240x240 px. Slice 132/155.
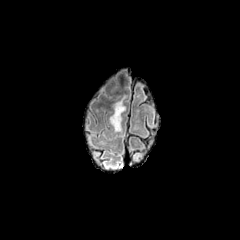
FLAIR MRI.
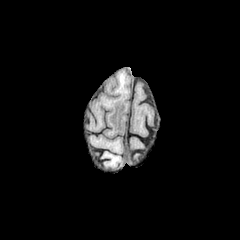
Same slice, T1-weighted MRI.
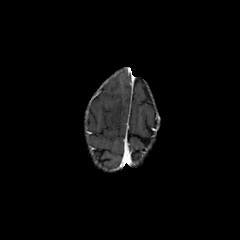
Post-contrast T1-weighted magnetic resonance.
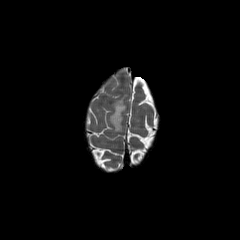
T2-weighted MR.
The peritumoral edema lies within l=109, t=98, r=125, b=131.